Slice index 55. 240x240.
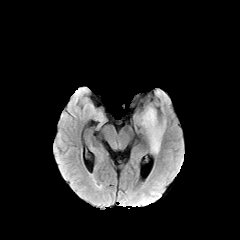
FLAIR MR.
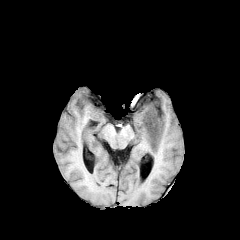
Same slice, T1-weighted MR image.
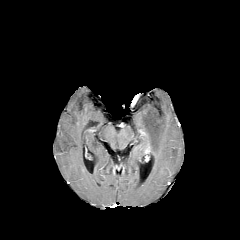
Same slice, post-contrast T1-weighted magnetic resonance.
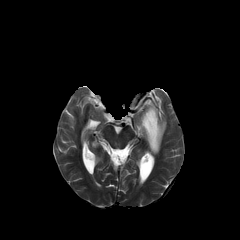
T2-weighted MRI of the same slice.
peritumoral_edema:
  - <bbox>140, 106, 165, 153</bbox>